FLAIR MR.
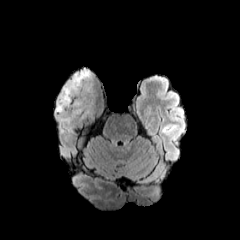
T1-weighted MRI.
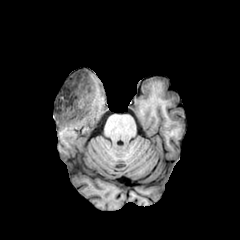
Post-contrast T1-weighted magnetic resonance.
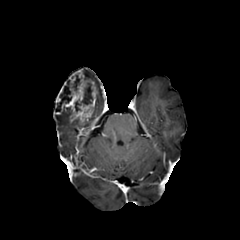
T2-weighted MR image.
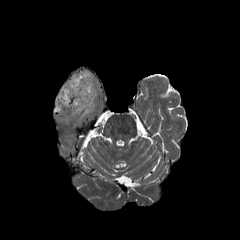
240x240 px | Axial plane
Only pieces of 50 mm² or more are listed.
Segmented structures:
* necrotic tumor core: [55, 80, 71, 111], [72, 75, 79, 90], [81, 83, 92, 104]
* peritumoral edema: [83, 69, 92, 79], [56, 110, 70, 124]
* enhancing tumor: [55, 81, 66, 108], [54, 69, 97, 124]